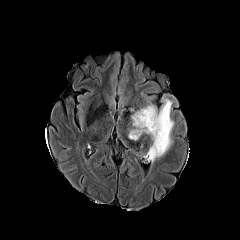
FLAIR MR.
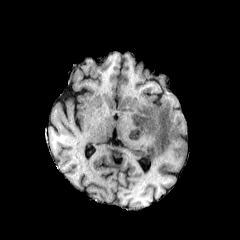
T1-weighted MR of the same slice.
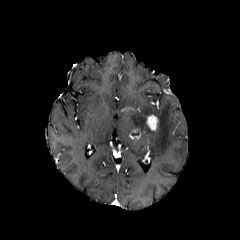
Post-contrast T1-weighted MR image of the same slice.
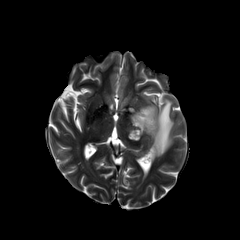
Same slice, T2-weighted MR.
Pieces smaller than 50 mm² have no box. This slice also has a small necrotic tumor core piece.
peritumoral edema — (131, 99, 173, 162)
enhancing tumor — (146, 114, 158, 130), (129, 128, 141, 139)